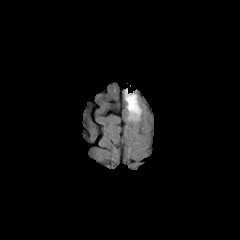
FLAIR MRI.
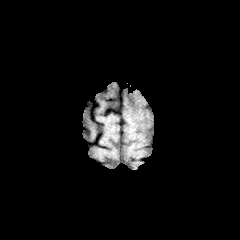
T1-weighted MR image of the same slice.
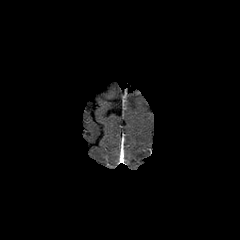
Post-contrast T1-weighted magnetic resonance.
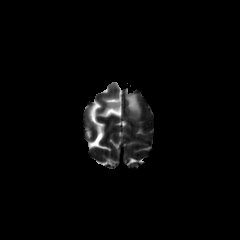
Same slice, T2-weighted MRI.
peritumoral edema: bounding box 126, 94, 140, 116